FLAIR MR image.
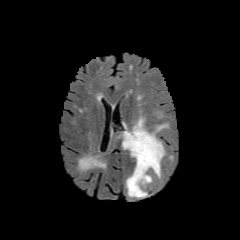
T1-weighted MR image.
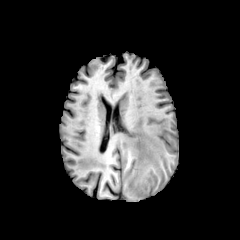
Post-contrast T1-weighted MR.
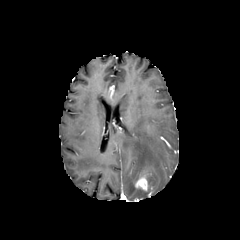
T2-weighted MRI.
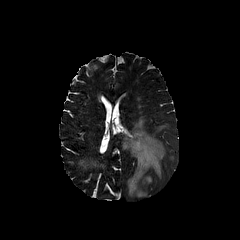
240x240; Head
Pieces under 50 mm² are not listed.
Findings:
- enhancing tumor: x1=135 y1=174 x2=147 y2=191
- peritumoral edema: x1=122 y1=117 x2=168 y2=197